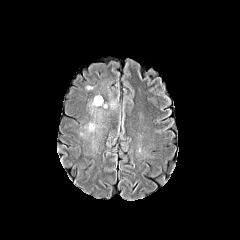
FLAIR MR.
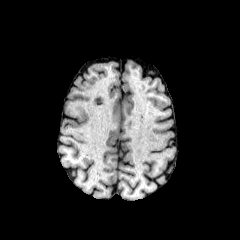
T1-weighted MR of the same slice.
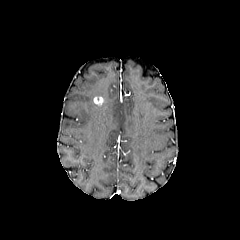
Post-contrast T1-weighted MRI of the same slice.
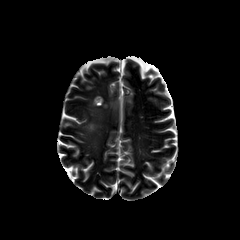
T2-weighted MR.
Brain
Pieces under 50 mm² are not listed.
enhancing tumor: (93,97,103,105)
peritumoral edema: (87,123,95,131)